FLAIR MR image.
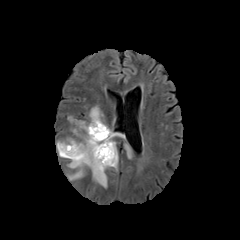
T1-weighted MR image.
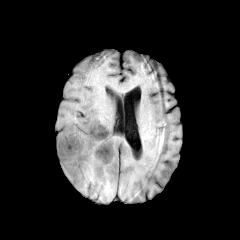
Post-contrast T1-weighted MRI.
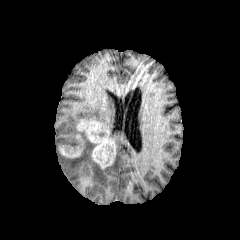
T2-weighted MR image.
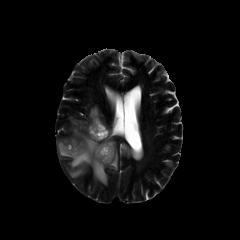
Brain | 240x240
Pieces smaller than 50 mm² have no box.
enhancing_tumor:
  - (left=59, top=142, right=83, bottom=157)
  - (left=77, top=119, right=115, bottom=168)
peritumoral_edema:
  - (left=89, top=106, right=107, bottom=127)
  - (left=108, top=128, right=122, bottom=138)
  - (left=56, top=127, right=118, bottom=187)
  - (left=68, top=116, right=85, bottom=125)